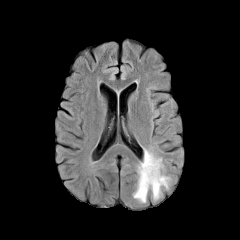
FLAIR MRI.
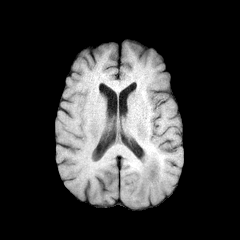
Same slice, T1-weighted MR.
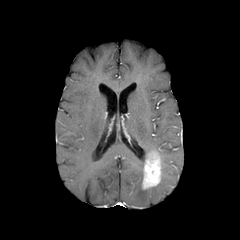
Same slice, post-contrast T1-weighted MRI.
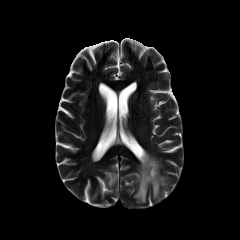
T2-weighted MR image.
240x240 px; Axial slice; Brain
* peritumoral edema: (left=133, top=147, right=170, bottom=203)
* enhancing tumor: (left=142, top=152, right=160, bottom=189)